Slice index 62 | Axial slice
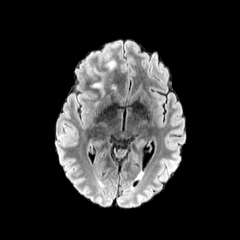
FLAIR magnetic resonance.
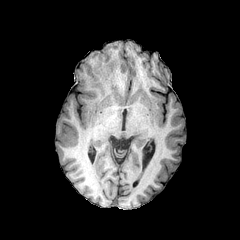
T1-weighted MR.
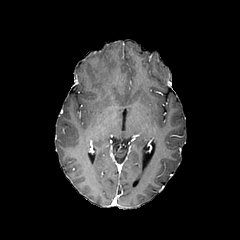
Post-contrast T1-weighted MRI.
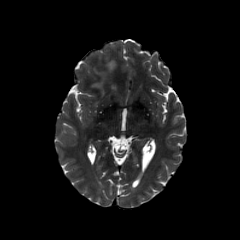
T2-weighted MR.
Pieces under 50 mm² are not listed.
The 2 largest peritumoral edema regions appear at 106:60:115:69, 91:67:105:96.